240x240 px | Slice 28/155 | Image width 240 mm, 1.00 mm slice spacing | Brain
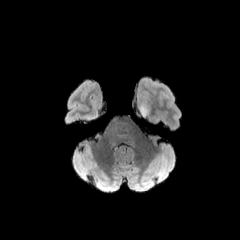
FLAIR magnetic resonance.
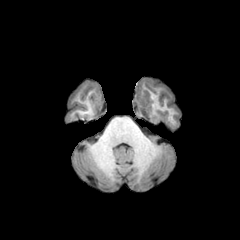
Same slice, T1-weighted magnetic resonance.
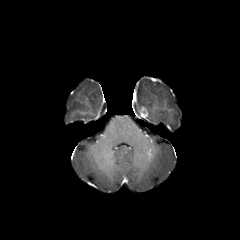
Same slice, post-contrast T1-weighted magnetic resonance.
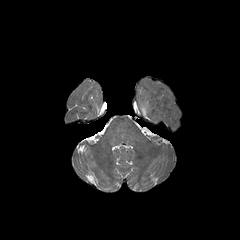
T2-weighted MRI.
Annotated regions:
• enhancing tumor: (x1=140, y1=106, x2=148, y2=117)
• peritumoral edema: (x1=139, y1=99, x2=150, y2=114)